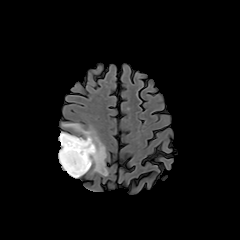
FLAIR MRI.
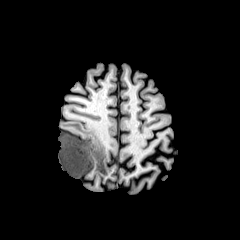
T1-weighted MR.
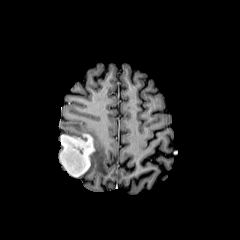
Same slice, post-contrast T1-weighted MRI.
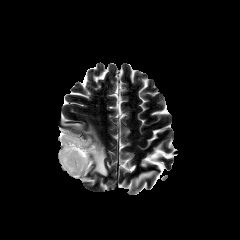
Same slice, T2-weighted MR.
Axial slice
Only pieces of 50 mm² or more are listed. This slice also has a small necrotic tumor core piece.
peritumoral edema: (62, 123, 108, 176) | enhancing tumor: (59, 134, 94, 177)